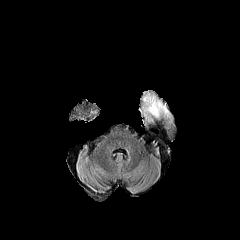
FLAIR MR.
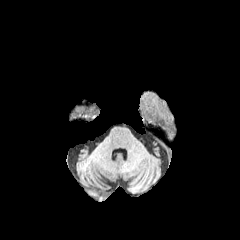
Same slice, T1-weighted MR image.
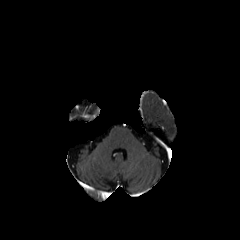
Post-contrast T1-weighted MR.
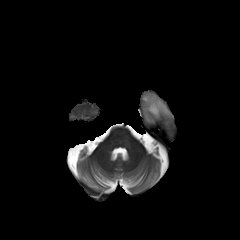
T2-weighted MR image of the same slice.
Brain.
peritumoral edema: 144, 95, 168, 117